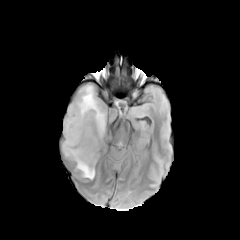
FLAIR MR.
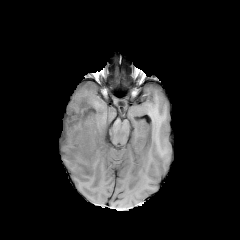
Same slice, T1-weighted MRI.
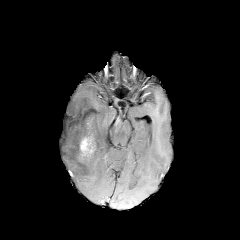
Post-contrast T1-weighted MR of the same slice.
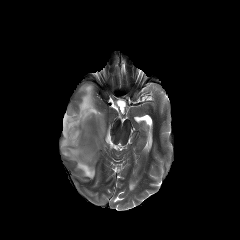
T2-weighted MR of the same slice.
Axial slice. Image size 240x240.
Findings:
• enhancing tumor: box=[79, 127, 95, 158]
• peritumoral edema: box=[61, 82, 105, 179]